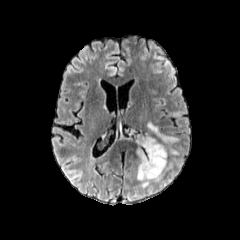
FLAIR MR image.
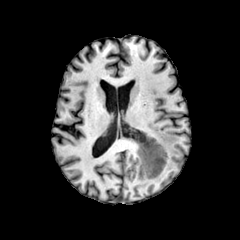
T1-weighted magnetic resonance.
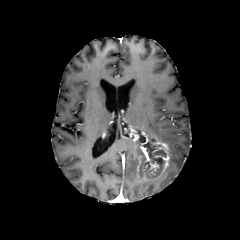
Post-contrast T1-weighted MR.
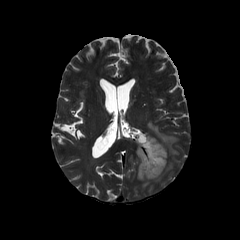
T2-weighted MR image.
240x240. Head.
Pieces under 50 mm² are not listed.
Findings:
• enhancing tumor: 136, 132, 169, 180
• necrotic tumor core: 140, 155, 150, 177; 143, 142, 166, 174
• peritumoral edema: 147, 122, 179, 155